FLAIR MR image.
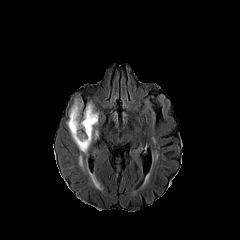
T1-weighted magnetic resonance.
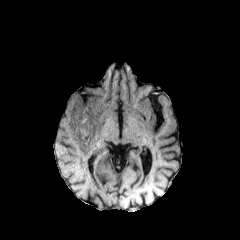
Post-contrast T1-weighted magnetic resonance.
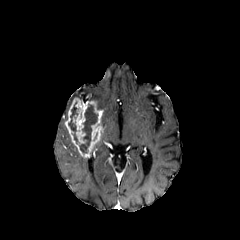
T2-weighted MR.
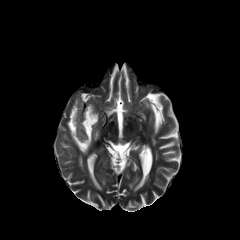
Brain
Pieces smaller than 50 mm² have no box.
The 2 largest necrotic tumor core regions are located at bbox(68, 105, 77, 143); bbox(79, 104, 97, 152). The 2 largest peritumoral edema regions appear at bbox(87, 163, 100, 188); bbox(79, 155, 83, 169). The enhancing tumor appears at bbox(65, 97, 102, 157).